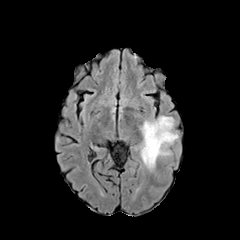
FLAIR MR image.
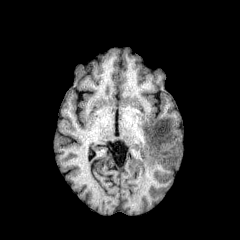
Same slice, T1-weighted MR.
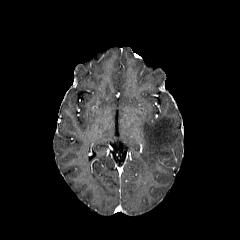
Post-contrast T1-weighted MR image.
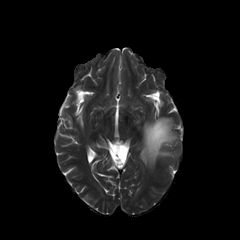
T2-weighted MR of the same slice.
Brain
Segmented structures:
• peritumoral edema: bbox=[140, 116, 178, 169]